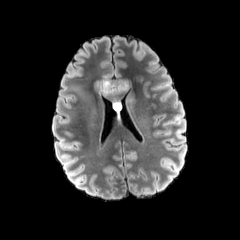
FLAIR MR.
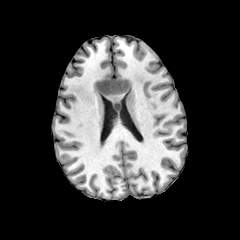
T1-weighted MR image of the same slice.
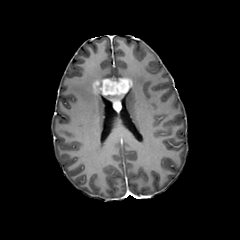
Post-contrast T1-weighted MR.
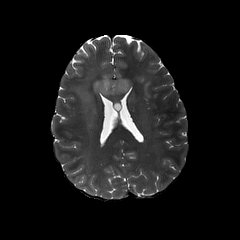
T2-weighted MR image.
Head. Image size 240x240.
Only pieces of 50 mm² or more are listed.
peritumoral_edema:
  - region(133, 74, 143, 82)
  - region(69, 63, 110, 117)
enhancing_tumor:
  - region(92, 77, 132, 111)